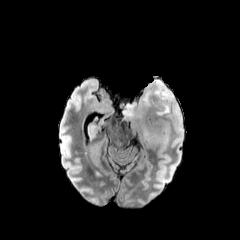
FLAIR MRI.
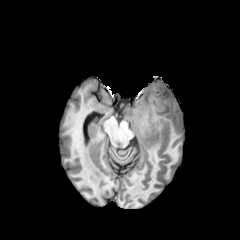
Same slice, T1-weighted magnetic resonance.
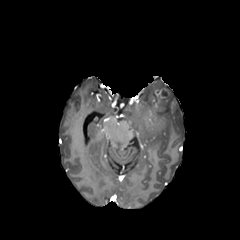
Post-contrast T1-weighted MR image.
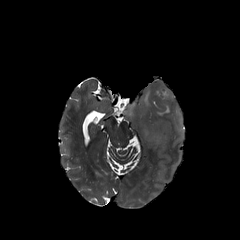
Same slice, T2-weighted magnetic resonance.
240x240. Head. Axial plane.
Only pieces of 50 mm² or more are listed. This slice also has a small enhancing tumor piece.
- peritumoral edema: x1=123, y1=80, x2=183, y2=145